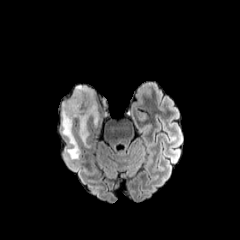
FLAIR MRI.
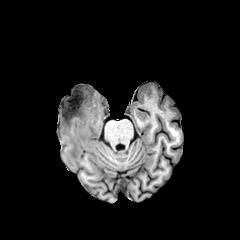
T1-weighted MRI of the same slice.
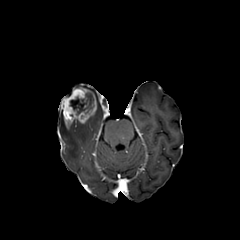
Post-contrast T1-weighted MR of the same slice.
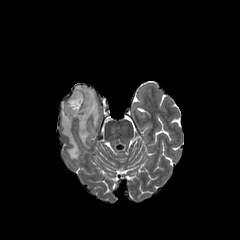
Same slice, T2-weighted magnetic resonance.
Brain; 240x240 px; Axial slice
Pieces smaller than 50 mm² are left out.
peritumoral edema: [79, 122, 89, 147], [92, 104, 98, 126], [61, 112, 79, 159] | enhancing tumor: [61, 87, 96, 128] | necrotic tumor core: [70, 94, 93, 113]